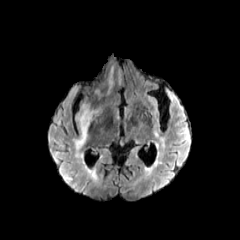
FLAIR magnetic resonance.
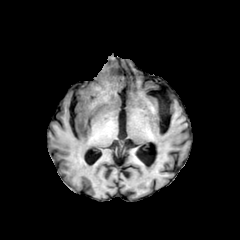
T1-weighted MR.
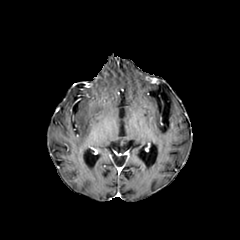
Post-contrast T1-weighted MRI.
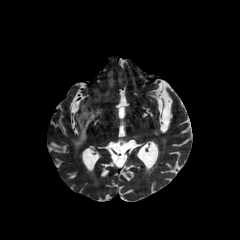
T2-weighted MR image.
Brain
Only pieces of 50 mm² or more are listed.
peritumoral edema at 74 105 99 149